Image width 240 mm
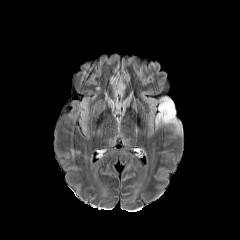
FLAIR MR image.
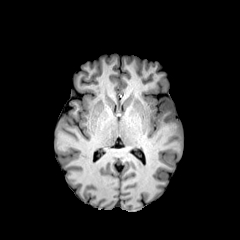
Same slice, T1-weighted MR image.
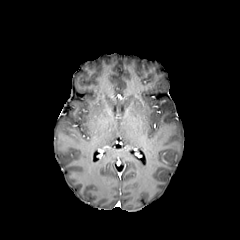
Post-contrast T1-weighted magnetic resonance.
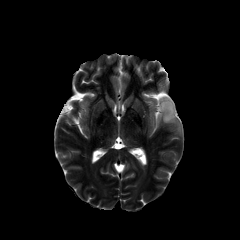
T2-weighted MRI of the same slice.
peritumoral_edema:
  - 156,97,181,131